FLAIR magnetic resonance.
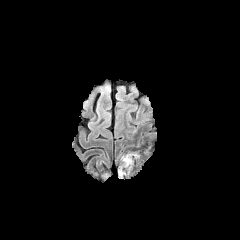
T1-weighted MRI.
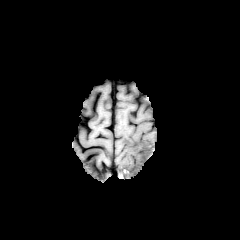
Post-contrast T1-weighted MR image.
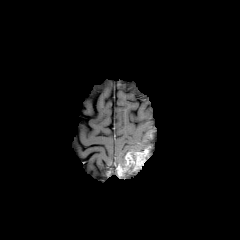
T2-weighted MRI.
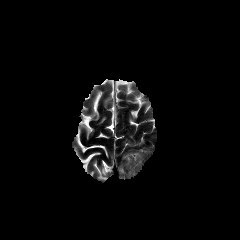
240x240; Brain; Axial slice
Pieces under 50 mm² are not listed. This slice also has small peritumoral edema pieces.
enhancing tumor — 119:148:149:175